FLAIR magnetic resonance.
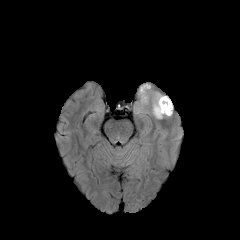
T1-weighted MR image.
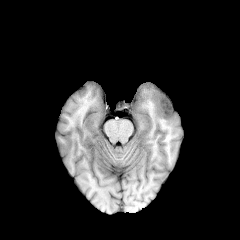
Post-contrast T1-weighted magnetic resonance.
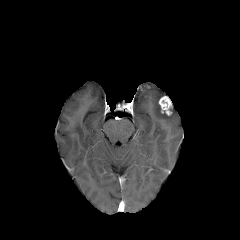
T2-weighted MR image.
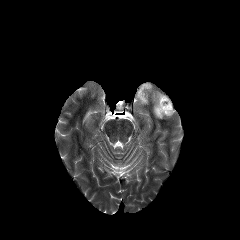
Axial slice
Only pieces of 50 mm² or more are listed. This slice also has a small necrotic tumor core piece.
peritumoral edema: <bbox>134, 83, 172, 119</bbox> | enhancing tumor: <bbox>158, 96, 172, 115</bbox>